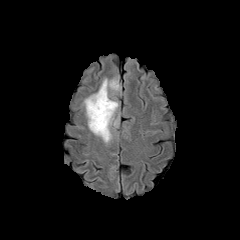
FLAIR MR image.
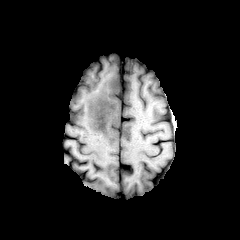
T1-weighted magnetic resonance.
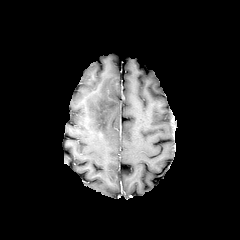
Post-contrast T1-weighted magnetic resonance of the same slice.
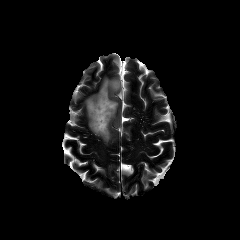
T2-weighted MR.
enhancing tumor = l=110, t=77, r=119, b=90
peritumoral edema = l=84, t=78, r=120, b=143